FLAIR MRI.
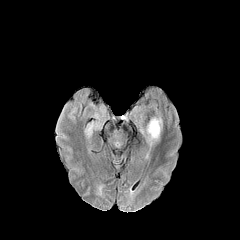
T1-weighted magnetic resonance.
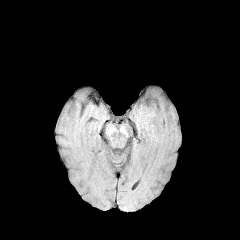
Post-contrast T1-weighted MRI.
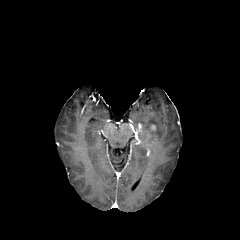
T2-weighted magnetic resonance.
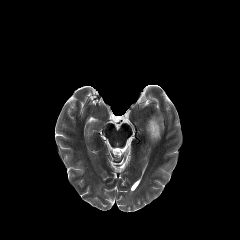
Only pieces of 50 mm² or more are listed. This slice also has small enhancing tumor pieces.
The peritumoral edema lies within {"x1": 141, "y1": 116, "x2": 162, "y2": 145}.